Axial plane | Slice index 65 | Head
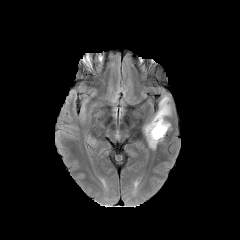
FLAIR MR.
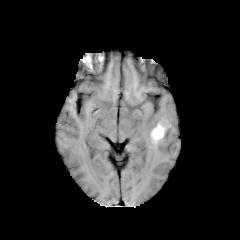
T1-weighted MRI.
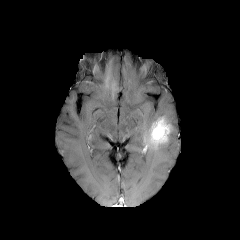
Post-contrast T1-weighted MR image of the same slice.
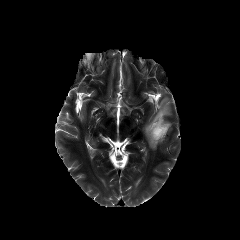
T2-weighted MR of the same slice.
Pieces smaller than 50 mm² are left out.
peritumoral_edema:
  - l=143, t=96, r=171, b=142
enhancing_tumor:
  - l=149, t=117, r=170, b=146